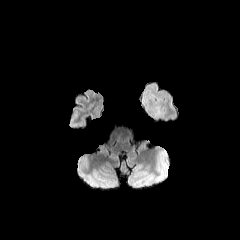
FLAIR magnetic resonance.
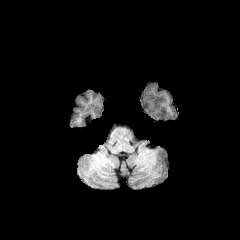
T1-weighted MR image of the same slice.
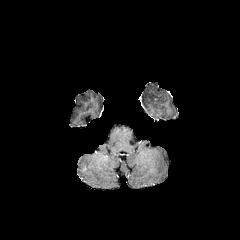
Post-contrast T1-weighted MRI.
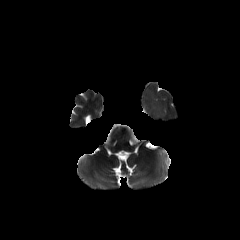
T2-weighted MRI.
240x240; Brain
The peritumoral edema is bounded by 142:95:160:118.